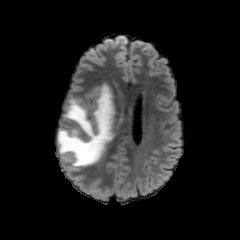
FLAIR MR.
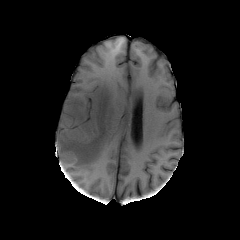
T1-weighted MR of the same slice.
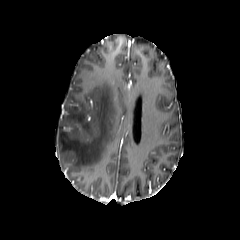
Post-contrast T1-weighted MRI.
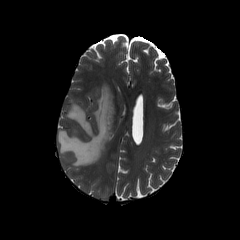
Same slice, T2-weighted magnetic resonance.
The peritumoral edema is bounded by <box>58,84,116,167</box>.